FLAIR MRI.
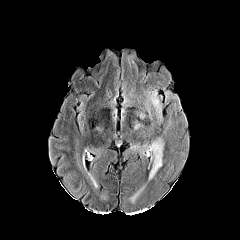
T1-weighted MRI.
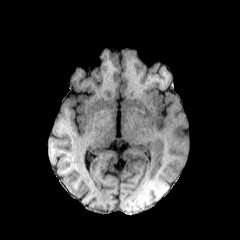
Post-contrast T1-weighted MR image.
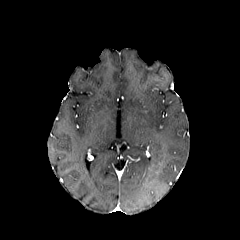
T2-weighted MR.
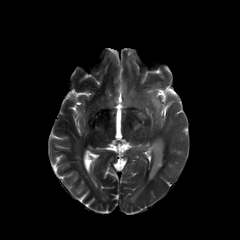
Axial plane
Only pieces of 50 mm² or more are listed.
peritumoral edema — (139,138,164,179)